Image covers 240 mm x 240 mm, Head
FLAIR magnetic resonance.
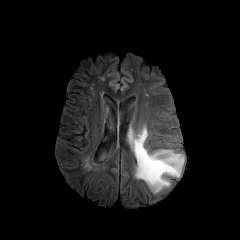
T1-weighted MRI.
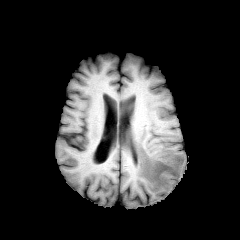
Post-contrast T1-weighted magnetic resonance.
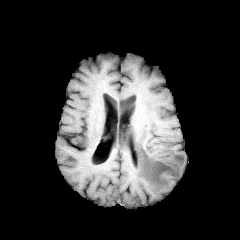
T2-weighted MRI.
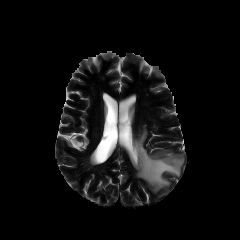
The peritumoral edema is located at box(130, 126, 184, 193).